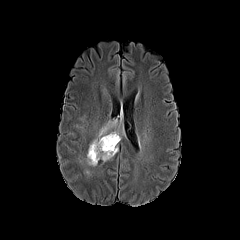
FLAIR MR.
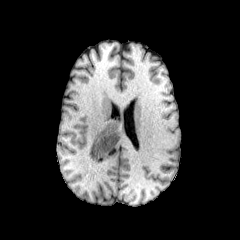
T1-weighted MR.
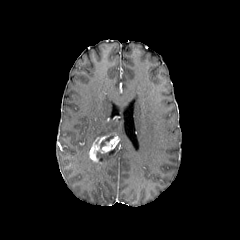
Post-contrast T1-weighted MRI.
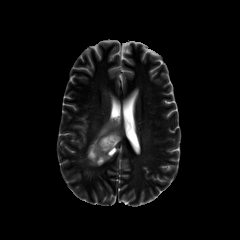
Same slice, T2-weighted MRI.
Axial plane, Brain
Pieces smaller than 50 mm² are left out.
peritumoral edema: {"x1": 97, "y1": 147, "x2": 117, "y2": 161}, {"x1": 97, "y1": 121, "x2": 117, "y2": 137}, {"x1": 87, "y1": 142, "x2": 97, "y2": 165} | necrotic tumor core: {"x1": 100, "y1": 133, "x2": 114, "y2": 147} | enhancing tumor: {"x1": 89, "y1": 133, "x2": 119, "y2": 161}